FLAIR MR image.
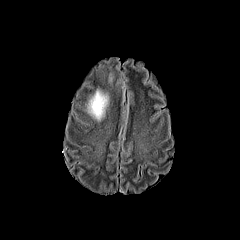
T1-weighted MR.
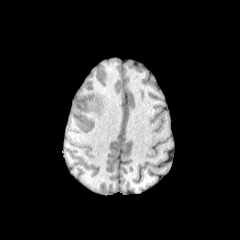
Post-contrast T1-weighted MRI.
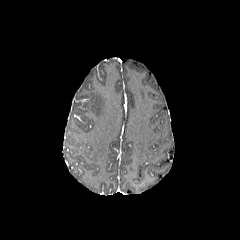
T2-weighted MR.
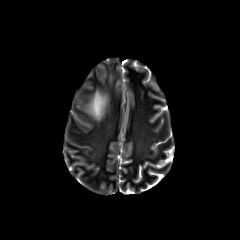
peritumoral edema = l=86, t=86, r=108, b=122